FLAIR MRI.
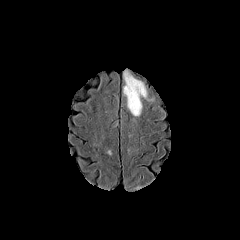
T1-weighted MR image.
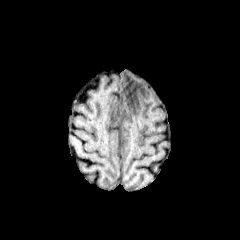
Post-contrast T1-weighted MR image.
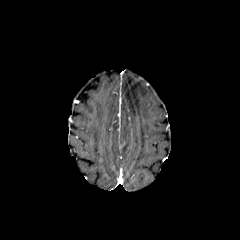
T2-weighted MR.
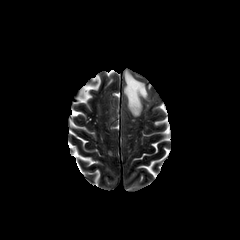
Image size 240x240
peritumoral edema — (123, 69, 147, 116)